FLAIR MR.
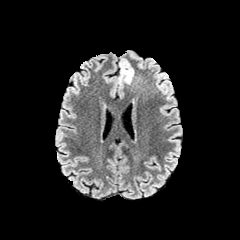
T1-weighted magnetic resonance.
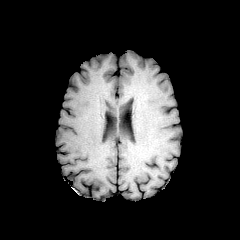
Post-contrast T1-weighted magnetic resonance.
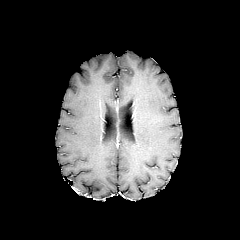
T2-weighted MRI.
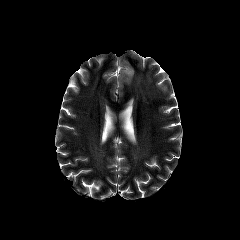
Brain
Annotated regions:
* peritumoral edema: 118,61,133,85